FLAIR magnetic resonance.
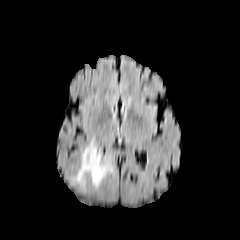
T1-weighted MRI.
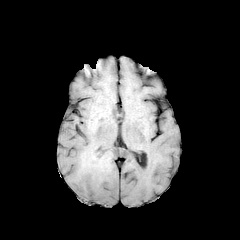
Post-contrast T1-weighted MR.
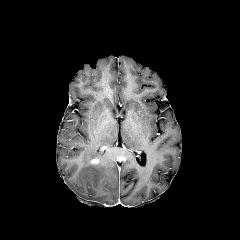
T2-weighted MR image.
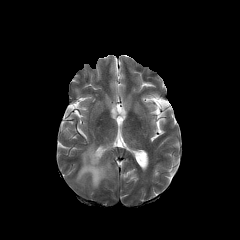
Axial slice. 240x240.
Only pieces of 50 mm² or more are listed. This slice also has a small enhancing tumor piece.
peritumoral edema — {"x1": 75, "y1": 143, "x2": 123, "y2": 188}